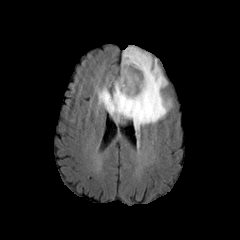
FLAIR MR.
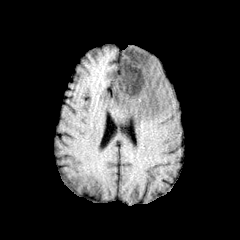
T1-weighted magnetic resonance.
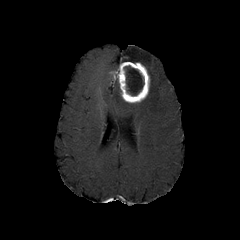
Same slice, post-contrast T1-weighted magnetic resonance.
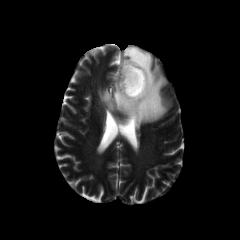
T2-weighted MRI.
Axial slice. Head.
Annotated regions:
* necrotic tumor core: [125, 66, 143, 95]
* peritumoral edema: [98, 46, 171, 130]
* enhancing tumor: [113, 61, 150, 103]